Head
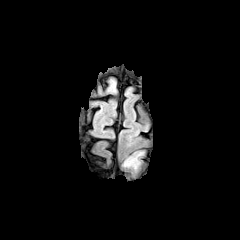
FLAIR MRI.
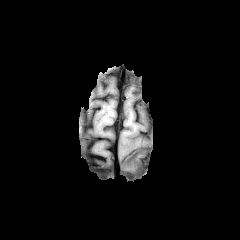
T1-weighted MR.
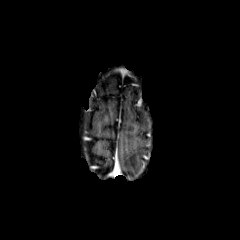
Post-contrast T1-weighted MR of the same slice.
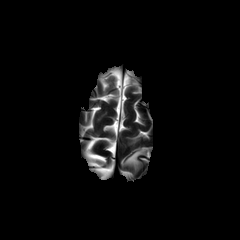
T2-weighted MR image of the same slice.
peritumoral edema: region(123, 151, 144, 170)